FLAIR MR image.
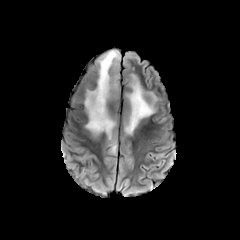
T1-weighted magnetic resonance.
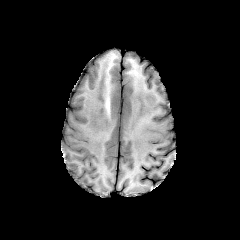
Post-contrast T1-weighted MRI.
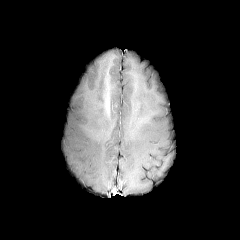
T2-weighted MR.
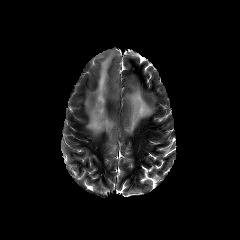
2 peritumoral edema regions are bounded by [82,50,120,155], [124,73,156,135].